Image size 240x240
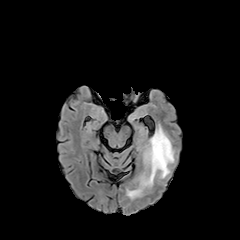
FLAIR magnetic resonance.
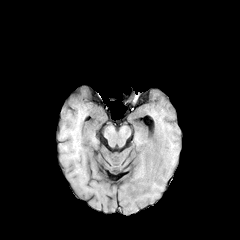
T1-weighted MRI of the same slice.
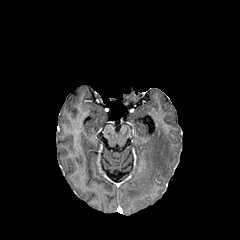
Same slice, post-contrast T1-weighted magnetic resonance.
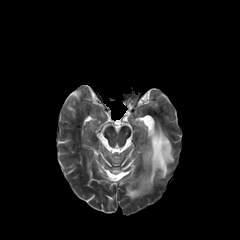
Same slice, T2-weighted MR image.
peritumoral edema at (126,124,174,198)